Brain | Axial plane
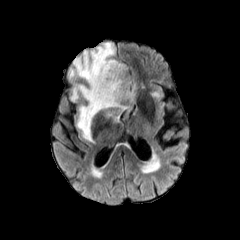
FLAIR magnetic resonance.
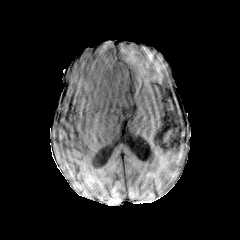
T1-weighted MRI of the same slice.
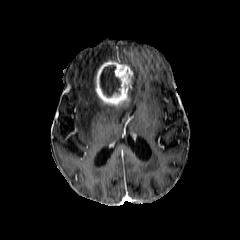
Post-contrast T1-weighted MR image.
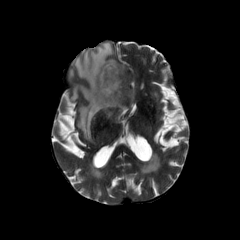
T2-weighted MR image of the same slice.
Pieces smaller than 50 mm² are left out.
peritumoral edema: x1=129 y1=81 x2=135 y2=103, x1=68 y1=42 x2=116 y2=140
necrotic tumor core: x1=100 y1=65 x2=120 y2=96
enhancing tumor: x1=94 y1=60 x2=132 y2=108